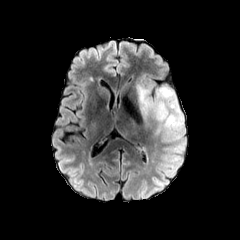
FLAIR MRI.
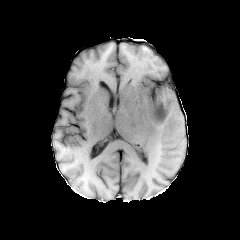
T1-weighted MR.
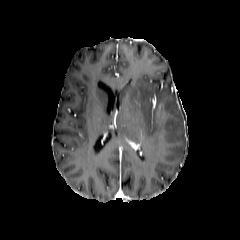
Post-contrast T1-weighted MR image.
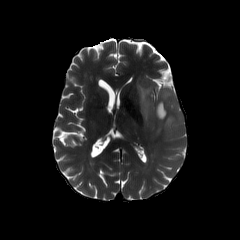
T2-weighted magnetic resonance.
Head
The enhancing tumor is located at (left=157, top=103, right=165, bottom=119). The peritumoral edema is bounded by (left=137, top=77, right=183, bottom=134).